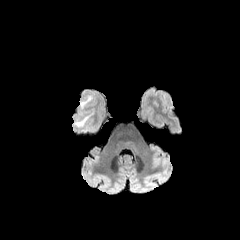
FLAIR MR image.
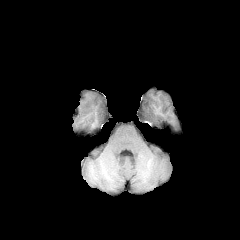
Same slice, T1-weighted MR image.
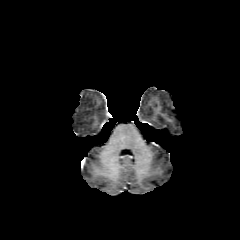
Post-contrast T1-weighted magnetic resonance.
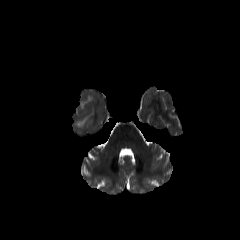
T2-weighted MR image.
Axial view. Head.
Segmented structures:
• peritumoral edema: <box>80,96,91,107</box>, <box>75,115,89,126</box>